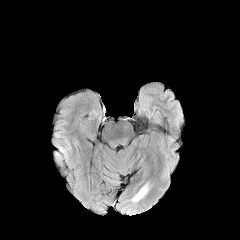
FLAIR MR image.
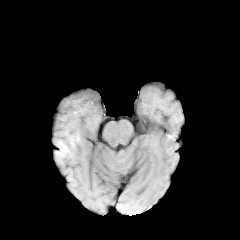
T1-weighted MR image of the same slice.
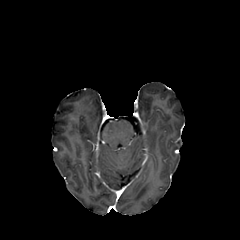
Same slice, post-contrast T1-weighted MR image.
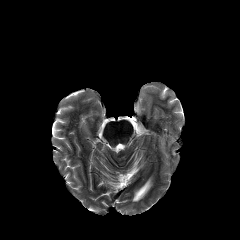
T2-weighted MR image of the same slice.
Head, Axial view
Findings:
• peritumoral edema: (132,183,149,201)